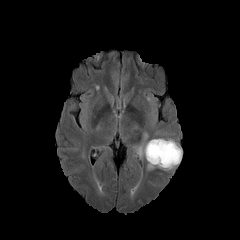
FLAIR MRI.
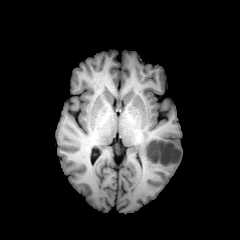
T1-weighted magnetic resonance of the same slice.
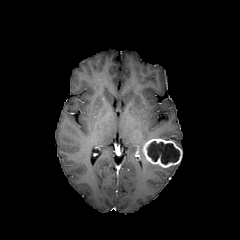
Post-contrast T1-weighted MR of the same slice.
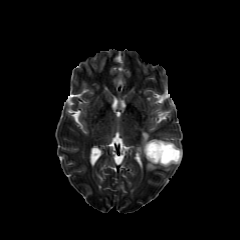
Same slice, T2-weighted MR.
Brain
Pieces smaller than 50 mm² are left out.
necrotic tumor core — [147, 141, 179, 164]
enhancing tumor — [142, 139, 182, 167]
peritumoral edema — [147, 162, 176, 170], [137, 133, 148, 157]